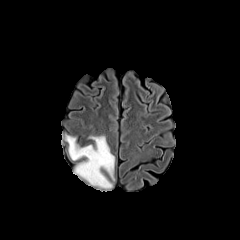
FLAIR MR image.
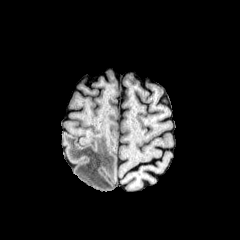
T1-weighted MRI of the same slice.
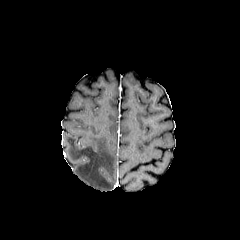
Post-contrast T1-weighted MR image.
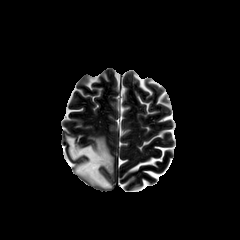
Same slice, T2-weighted MR image.
Axial view; 240x240
peritumoral edema: left=65, top=135, right=114, bottom=189